FLAIR MR.
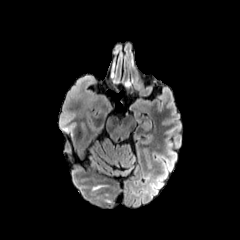
T1-weighted MR.
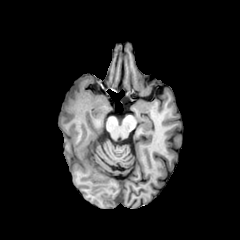
Post-contrast T1-weighted MRI.
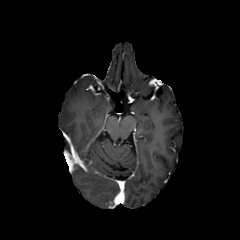
T2-weighted magnetic resonance.
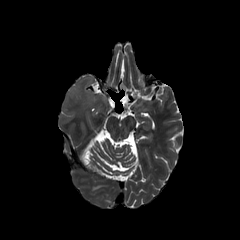
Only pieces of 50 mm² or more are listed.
peritumoral edema — [x1=70, y1=78, x2=86, y2=95]